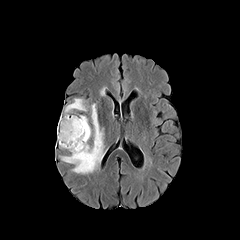
FLAIR magnetic resonance.
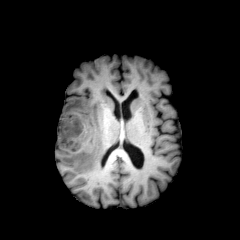
T1-weighted MR image.
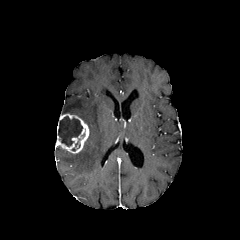
Post-contrast T1-weighted magnetic resonance.
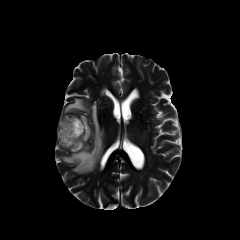
T2-weighted MR image.
Brain
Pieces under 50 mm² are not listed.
The enhancing tumor is at [56, 113, 89, 153]. The 2 largest peritumoral edema regions are located at [65, 98, 87, 113], [61, 103, 104, 173]. The largest necrotic tumor core region appears at [58, 116, 82, 146].